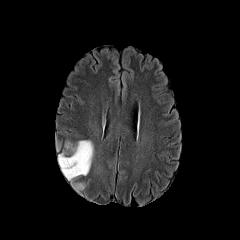
FLAIR magnetic resonance.
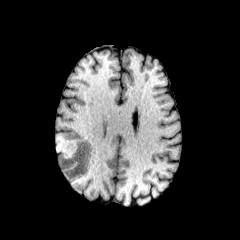
Same slice, T1-weighted MR image.
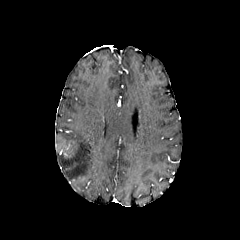
Post-contrast T1-weighted magnetic resonance of the same slice.
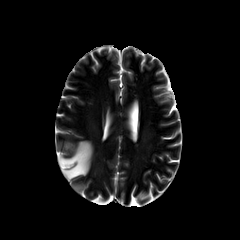
T2-weighted MR image.
Axial view | Head
peritumoral edema at x1=58, y1=140, x2=93, y2=180; x1=73, y1=182, x2=84, y2=190